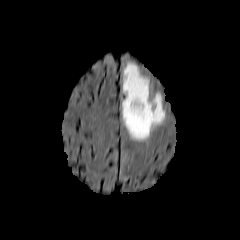
FLAIR MR.
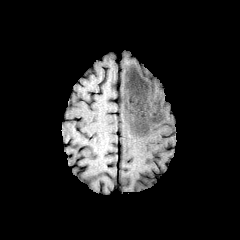
T1-weighted MR.
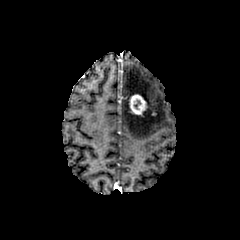
Post-contrast T1-weighted MRI.
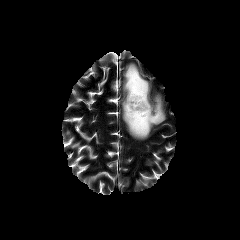
T2-weighted MRI.
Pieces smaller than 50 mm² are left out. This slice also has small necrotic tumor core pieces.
- enhancing tumor: bbox(129, 94, 148, 115)
- peritumoral edema: bbox(122, 63, 165, 140)